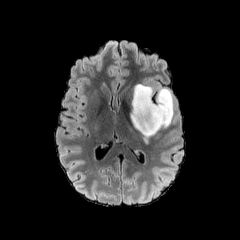
FLAIR magnetic resonance.
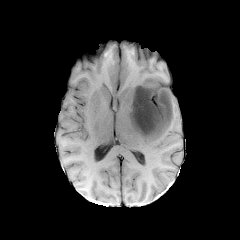
T1-weighted MR of the same slice.
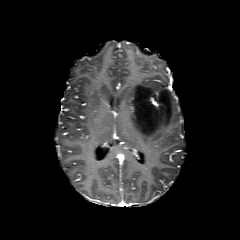
Same slice, post-contrast T1-weighted MR.
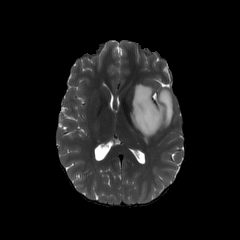
Same slice, T2-weighted MR.
Brain; Axial plane; 240x240 px
{"peritumoral_edema": ["[131,84,173,142]"]}